Slice 70/155 | 240x240 | Brain | Axial slice
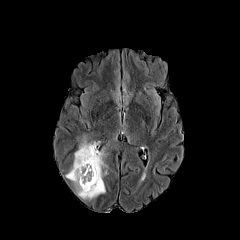
FLAIR magnetic resonance.
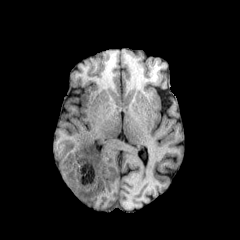
T1-weighted MR.
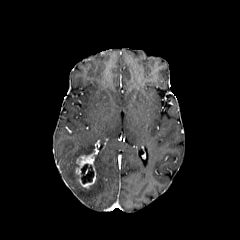
Post-contrast T1-weighted MR image.
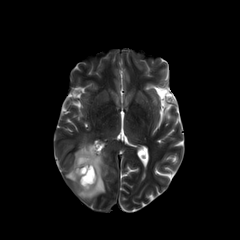
Same slice, T2-weighted magnetic resonance.
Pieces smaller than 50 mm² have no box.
{
  "peritumoral_edema": [
    "65, 136, 107, 200"
  ],
  "necrotic_tumor_core": [
    "81, 164, 94, 183"
  ],
  "enhancing_tumor": [
    "75, 150, 96, 188"
  ]
}